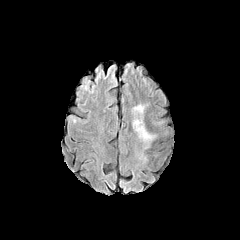
FLAIR MR image.
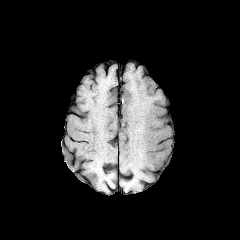
T1-weighted MRI of the same slice.
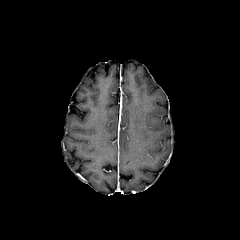
Same slice, post-contrast T1-weighted MR.
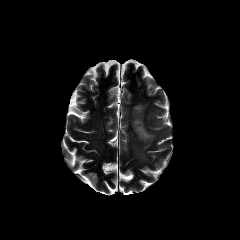
T2-weighted MRI of the same slice.
Head.
peritumoral edema: x1=132, y1=104, x2=156, y2=148